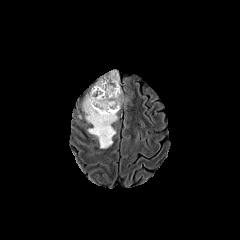
FLAIR MR.
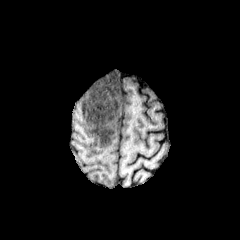
T1-weighted MR.
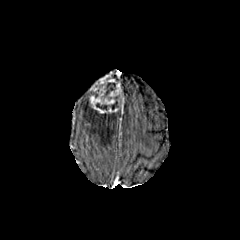
Post-contrast T1-weighted MRI.
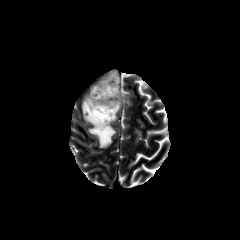
Same slice, T2-weighted MR.
Head. Axial slice.
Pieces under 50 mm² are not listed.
peritumoral edema: 84:95:117:148 | necrotic tumor core: 104:82:115:96, 96:95:119:110 | enhancing tumor: 88:70:124:113